Axial slice. Brain. Image size 240x240. Slice 113/155.
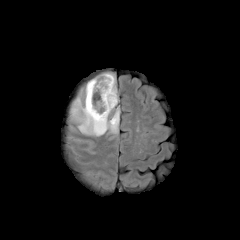
FLAIR MR image.
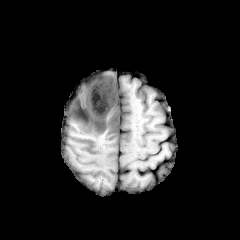
T1-weighted MRI.
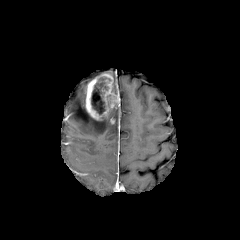
Same slice, post-contrast T1-weighted MR.
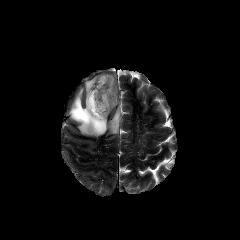
T2-weighted MR image.
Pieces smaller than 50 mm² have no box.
• peritumoral edema: 66, 69, 119, 136
• necrotic tumor core: 91, 86, 105, 114
• enhancing tumor: 85, 73, 119, 120